Axial view
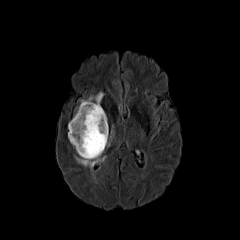
FLAIR MR.
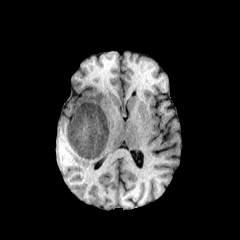
T1-weighted magnetic resonance.
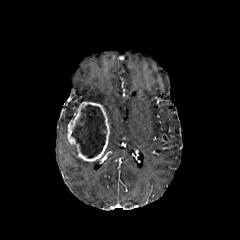
Post-contrast T1-weighted magnetic resonance of the same slice.
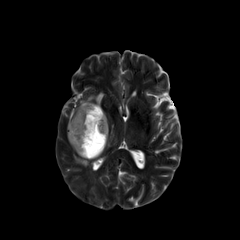
T2-weighted MR of the same slice.
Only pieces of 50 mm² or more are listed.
Segmented structures:
- necrotic tumor core: {"x1": 71, "y1": 105, "x2": 106, "y2": 158}
- enhancing tumor: {"x1": 67, "y1": 101, "x2": 109, "y2": 161}
- peritumoral edema: {"x1": 75, "y1": 157, "x2": 99, "y2": 169}, {"x1": 107, "y1": 129, "x2": 114, "y2": 146}, {"x1": 80, "y1": 92, "x2": 104, "y2": 103}